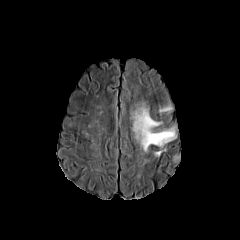
FLAIR MR image.
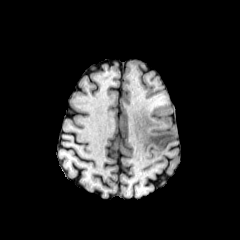
T1-weighted MR image of the same slice.
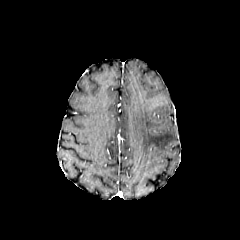
Same slice, post-contrast T1-weighted MR image.
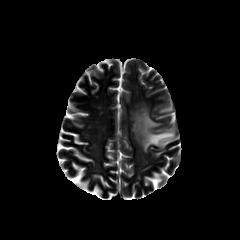
Same slice, T2-weighted MRI.
Axial plane | Head | 240x240 px
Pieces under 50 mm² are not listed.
The 3 largest peritumoral edema regions are bounded by [x1=159, y1=106, x2=171, y2=112], [x1=172, y1=155, x2=180, y2=164], [x1=132, y1=103, x2=176, y2=152].